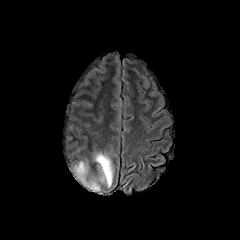
FLAIR MRI.
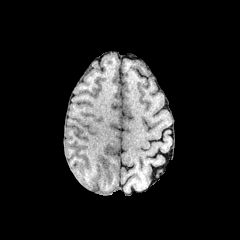
T1-weighted MR.
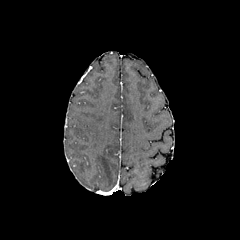
Post-contrast T1-weighted MRI.
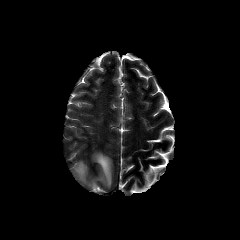
T2-weighted magnetic resonance of the same slice.
Axial plane
Segmented structures:
• peritumoral edema: x1=94, y1=152, x2=113, y2=187; x1=73, y1=161, x2=100, y2=191